Axial view
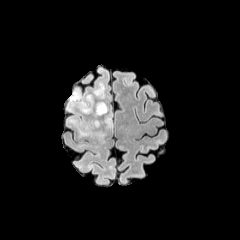
FLAIR MRI.
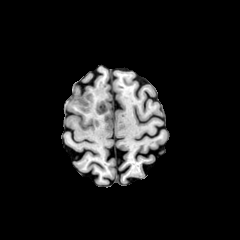
T1-weighted MR.
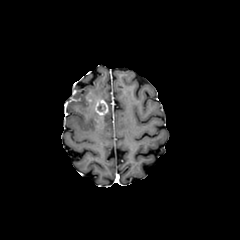
Post-contrast T1-weighted MRI of the same slice.
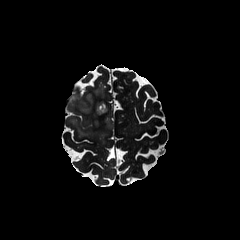
T2-weighted MRI.
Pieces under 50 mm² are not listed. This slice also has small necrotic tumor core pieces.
peritumoral edema: x1=68 y1=85 x2=104 y2=113, x1=104 y1=106 x2=112 y2=129, x1=77 y1=119 x2=105 y2=143 | enhancing tumor: x1=70 y1=91 x2=80 y2=101, x1=93 y1=99 x2=108 y2=116